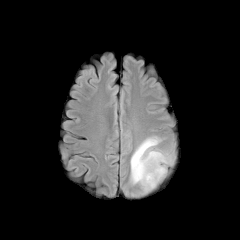
FLAIR MR image.
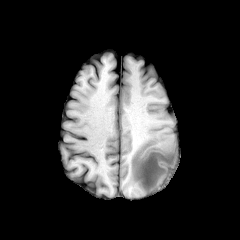
T1-weighted magnetic resonance of the same slice.
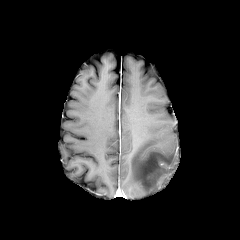
Post-contrast T1-weighted MR of the same slice.
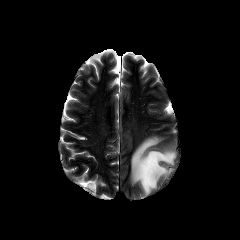
T2-weighted MR.
peritumoral edema: box=[131, 136, 174, 192]